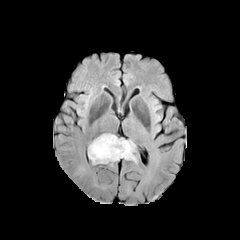
FLAIR magnetic resonance.
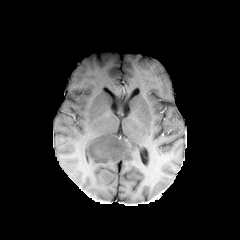
T1-weighted MR image.
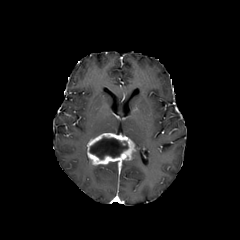
Same slice, post-contrast T1-weighted magnetic resonance.
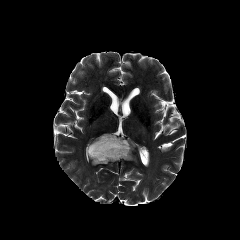
T2-weighted MR image.
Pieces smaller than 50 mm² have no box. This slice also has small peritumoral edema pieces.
enhancing tumor: bounding box 87:133:135:165
necrotic tumor core: bounding box 89:137:128:159